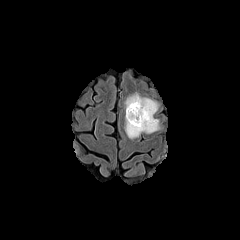
FLAIR MR image.
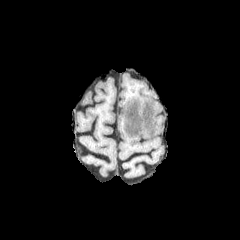
T1-weighted magnetic resonance.
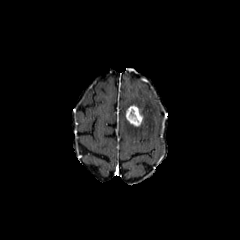
Post-contrast T1-weighted MR image.
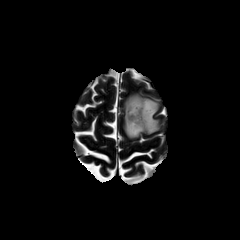
Same slice, T2-weighted magnetic resonance.
The peritumoral edema lies within box(124, 93, 159, 138). The enhancing tumor is bounded by box(126, 105, 143, 126).